FLAIR MR.
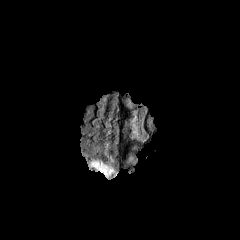
T1-weighted MR.
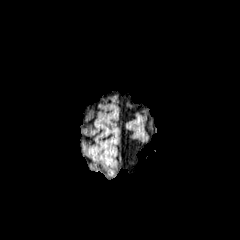
Post-contrast T1-weighted MR.
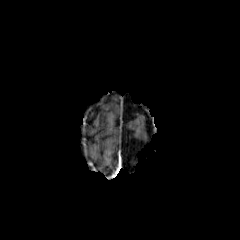
T2-weighted MR image.
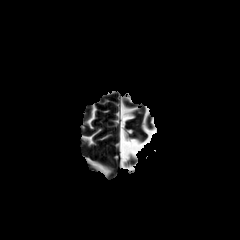
Axial plane
peritumoral edema: bounding box bbox=[93, 162, 112, 175]